Head, Axial view
FLAIR magnetic resonance.
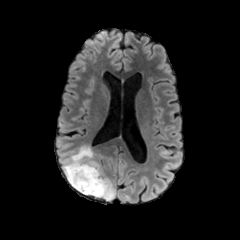
T1-weighted MR image.
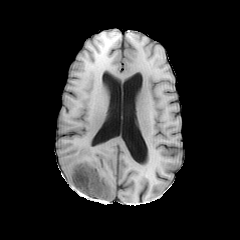
Post-contrast T1-weighted MR.
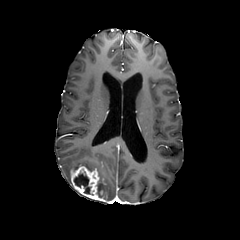
T2-weighted magnetic resonance.
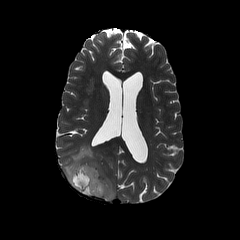
{
  "necrotic_tumor_core": [
    "<box>74,173,93,195</box>"
  ],
  "peritumoral_edema": [
    "<box>63,145,115,201</box>"
  ],
  "enhancing_tumor": [
    "<box>70,165,103,200</box>"
  ]
}